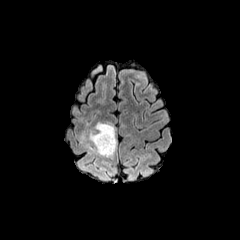
FLAIR magnetic resonance.
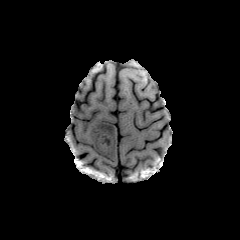
T1-weighted magnetic resonance.
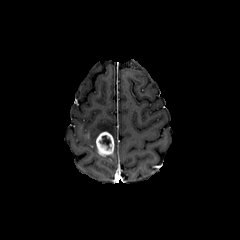
Post-contrast T1-weighted MR.
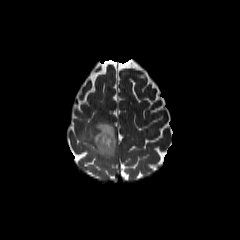
T2-weighted magnetic resonance.
Axial plane
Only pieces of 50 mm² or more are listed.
{"necrotic_tumor_core": ["<bbox>100, 135, 110, 148</bbox>"], "peritumoral_edema": ["<bbox>80, 122, 116, 158</bbox>"], "enhancing_tumor": ["<bbox>95, 131, 114, 156</bbox>"]}